FLAIR magnetic resonance.
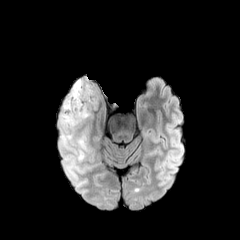
T1-weighted MR.
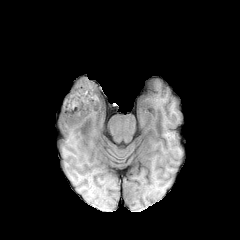
Post-contrast T1-weighted magnetic resonance.
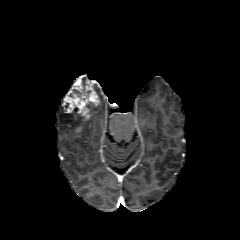
T2-weighted MR.
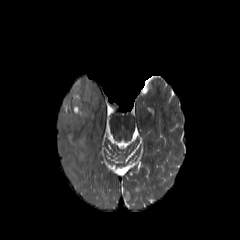
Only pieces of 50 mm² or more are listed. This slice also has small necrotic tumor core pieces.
The 3 largest peritumoral edema regions appear at left=78, top=150, right=84, bottom=160; left=60, top=109, right=82, bottom=127; left=78, top=134, right=86, bottom=149. The enhancing tumor is at left=63, top=79, right=99, bottom=122.